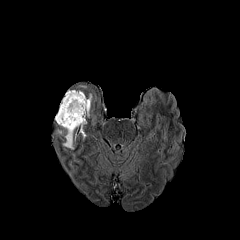
FLAIR magnetic resonance.
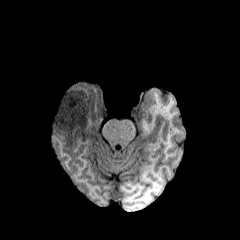
T1-weighted MR image of the same slice.
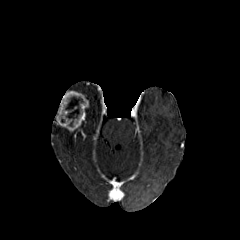
Post-contrast T1-weighted MR image of the same slice.
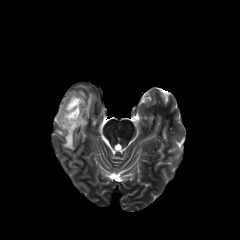
T2-weighted MR image.
Axial plane.
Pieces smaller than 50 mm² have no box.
peritumoral_edema:
  - <bbox>87, 93, 92, 117</bbox>
  - <bbox>63, 130, 74, 149</bbox>
enhancing_tumor:
  - <bbox>55, 90, 89, 132</bbox>
necrotic_tumor_core:
  - <bbox>65, 96, 83, 118</bbox>